Brain; Slice index 71; 240x240 px
FLAIR MR image.
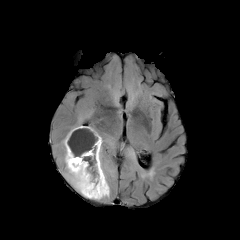
T1-weighted MRI.
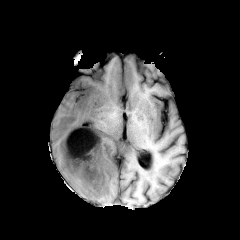
Post-contrast T1-weighted MR.
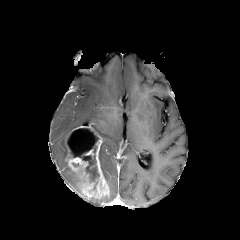
T2-weighted magnetic resonance.
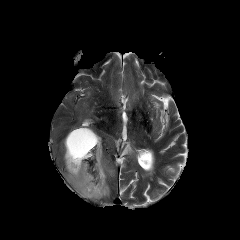
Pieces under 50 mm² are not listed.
enhancing tumor = 65, 126, 109, 199
peritumoral edema = 99, 145, 113, 180; 70, 116, 82, 131; 61, 137, 80, 193
necrotic tumor core = 67, 128, 99, 181